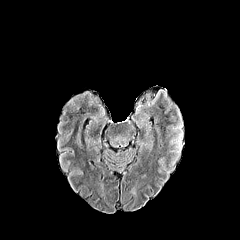
FLAIR MR image.
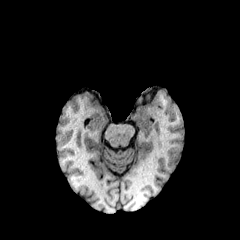
Same slice, T1-weighted magnetic resonance.
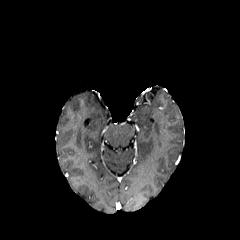
Same slice, post-contrast T1-weighted MR image.
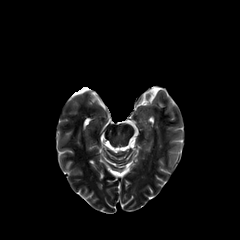
Same slice, T2-weighted magnetic resonance.
Axial slice.
Findings:
- peritumoral edema: {"x1": 171, "y1": 122, "x2": 182, "y2": 152}